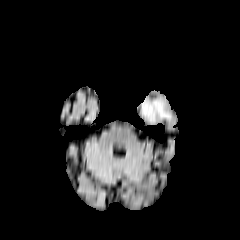
FLAIR magnetic resonance.
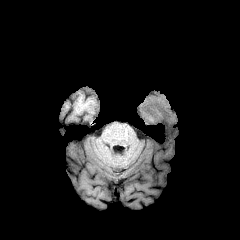
T1-weighted magnetic resonance of the same slice.
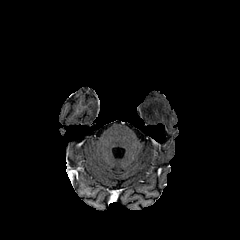
Post-contrast T1-weighted magnetic resonance of the same slice.
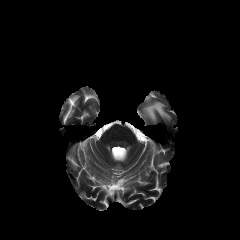
T2-weighted MR.
Axial view
The peritumoral edema is at l=142, t=98, r=170, b=121.